FLAIR MR.
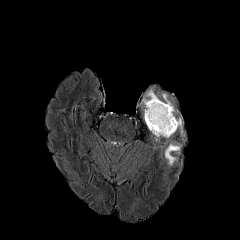
T1-weighted MR.
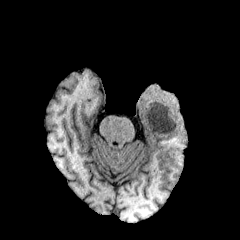
Post-contrast T1-weighted MRI.
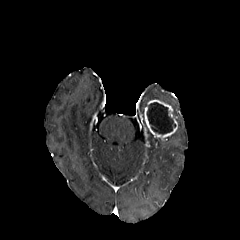
T2-weighted MR.
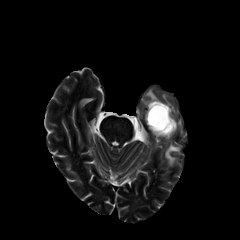
Head
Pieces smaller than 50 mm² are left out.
peritumoral_edema:
  - (left=142, top=88, right=159, bottom=106)
  - (left=176, top=117, right=182, bottom=134)
  - (left=161, top=93, right=175, bottom=115)
  - (left=165, top=143, right=181, bottom=165)
necrotic_tumor_core:
  - (left=147, top=102, right=175, bottom=134)
enhancing_tumor:
  - (left=144, top=99, right=177, bottom=139)